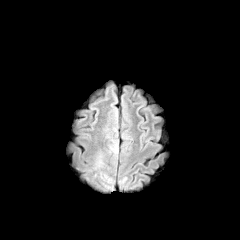
FLAIR MR image.
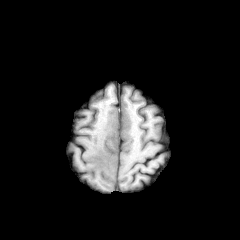
Same slice, T1-weighted MRI.
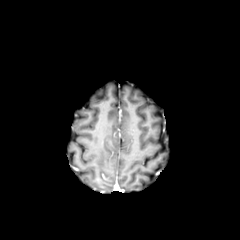
Same slice, post-contrast T1-weighted MR image.
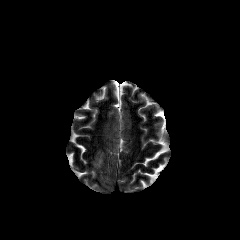
T2-weighted MRI.
Head; Image size 240x240
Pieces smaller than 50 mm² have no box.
peritumoral edema = x1=111 y1=143 x2=118 y2=153